Brain, Axial slice, Slice 76/155, Image covers 240 mm x 240 mm
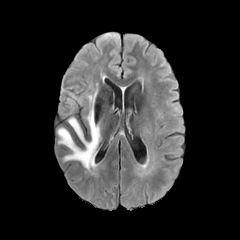
FLAIR MR.
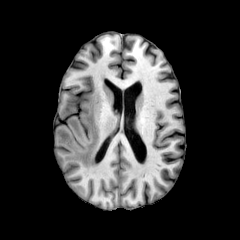
T1-weighted magnetic resonance of the same slice.
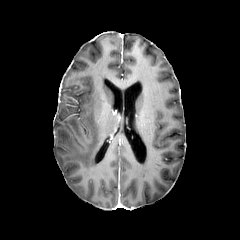
Post-contrast T1-weighted MR of the same slice.
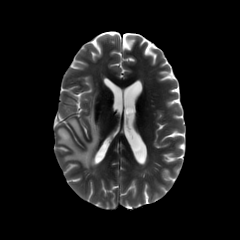
T2-weighted MR image.
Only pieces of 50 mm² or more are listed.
<segmentation>
  <peritumoral_edema>bbox=[57, 93, 100, 171]</peritumoral_edema>
</segmentation>